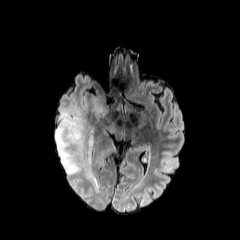
FLAIR MR.
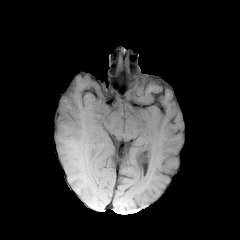
Same slice, T1-weighted magnetic resonance.
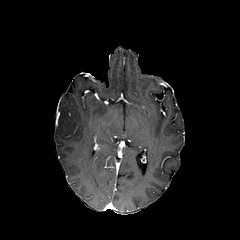
Post-contrast T1-weighted magnetic resonance.
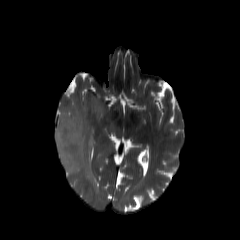
T2-weighted MR.
Brain.
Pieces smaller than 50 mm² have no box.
The largest peritumoral edema region is bounded by rect(55, 95, 107, 190).